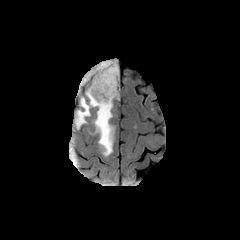
FLAIR magnetic resonance.
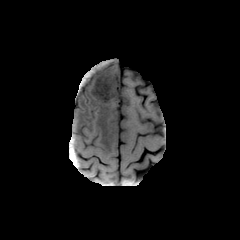
T1-weighted MR of the same slice.
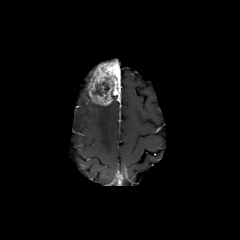
Same slice, post-contrast T1-weighted MR image.
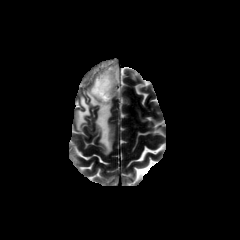
T2-weighted MR of the same slice.
Head. Axial slice.
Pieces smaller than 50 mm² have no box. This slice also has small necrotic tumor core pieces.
peritumoral edema: box=[74, 66, 115, 156]
enhancing tumor: box=[87, 59, 121, 106]